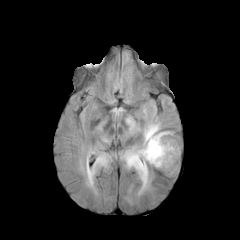
FLAIR MR.
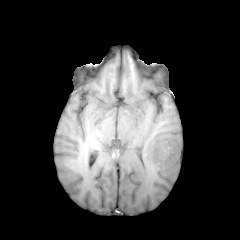
T1-weighted MR image.
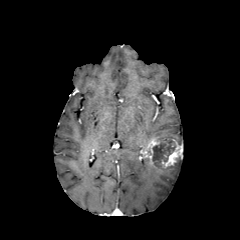
Post-contrast T1-weighted MR image.
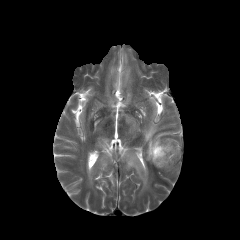
T2-weighted magnetic resonance.
Brain
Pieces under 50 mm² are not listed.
peritumoral edema: 154, 163, 177, 174; 87, 167, 94, 185; 95, 154, 110, 166; 121, 120, 179, 194 | necrotic tumor core: 152, 141, 175, 161 | enhancing tumor: 141, 136, 182, 168